FLAIR magnetic resonance.
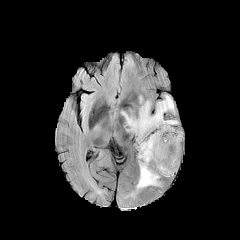
T1-weighted MRI.
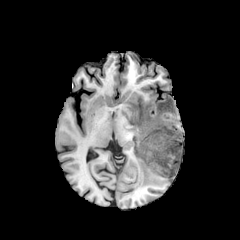
Post-contrast T1-weighted MRI.
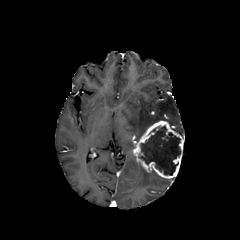
T2-weighted MR.
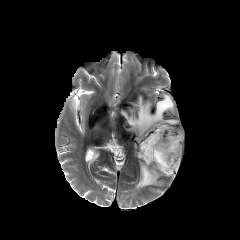
Axial plane.
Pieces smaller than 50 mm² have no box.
necrotic tumor core — (x1=139, y1=126, x2=180, y2=175)
enhancing tumor — (x1=133, y1=120, x2=184, y2=178)
peritumoral edema — (x1=121, y1=95, x2=178, y2=141), (x1=136, y1=163, x2=160, y2=189)